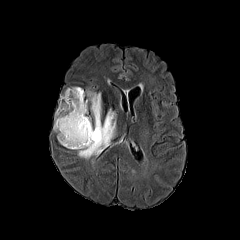
FLAIR MR image.
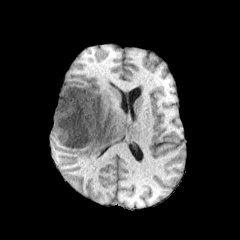
T1-weighted MR.
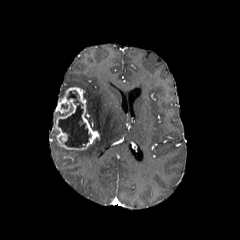
Same slice, post-contrast T1-weighted MR.
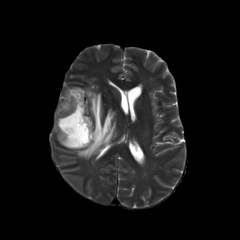
T2-weighted MRI.
240x240 | Brain | Axial plane
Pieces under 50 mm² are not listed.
Findings:
- peritumoral edema: (left=76, top=90, right=115, bottom=159)
- necrotic tumor core: (left=58, top=91, right=90, bottom=147)
- enhancing tumor: (left=52, top=87, right=99, bottom=149)